FLAIR MR.
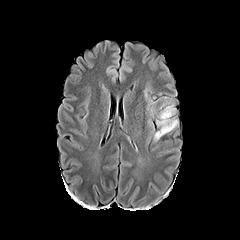
T1-weighted MR image.
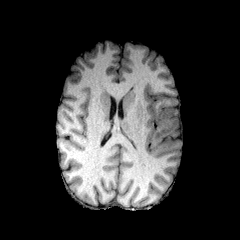
Post-contrast T1-weighted MR.
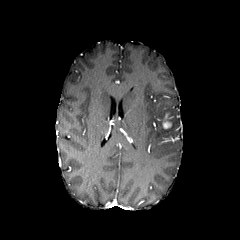
T2-weighted MRI.
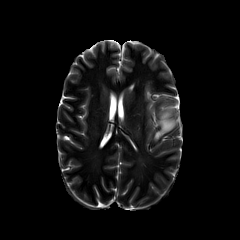
Image size 240x240. Axial slice.
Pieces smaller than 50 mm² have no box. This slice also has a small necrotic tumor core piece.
<segmentation>
  <peritumoral_edema>154,105,179,140</peritumoral_edema>
  <enhancing_tumor>162,113,171,128</enhancing_tumor>
</segmentation>